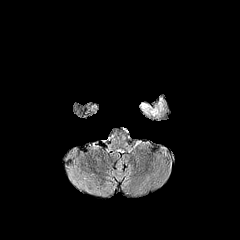
FLAIR MRI.
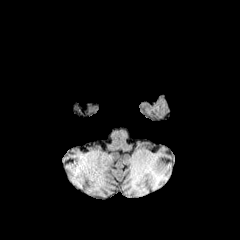
Same slice, T1-weighted MR image.
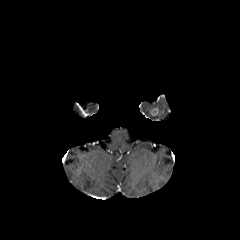
Same slice, post-contrast T1-weighted MRI.
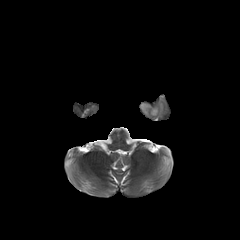
T2-weighted MR of the same slice.
Axial plane
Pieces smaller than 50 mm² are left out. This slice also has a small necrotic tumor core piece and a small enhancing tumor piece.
The largest peritumoral edema region is bounded by 142 103 150 113.